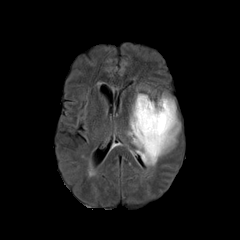
FLAIR MR image.
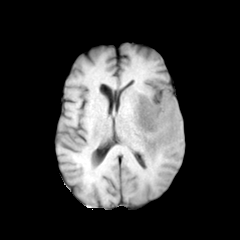
T1-weighted MR.
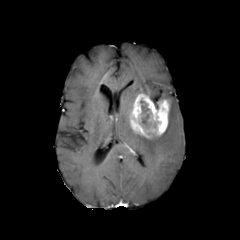
Post-contrast T1-weighted MR image.
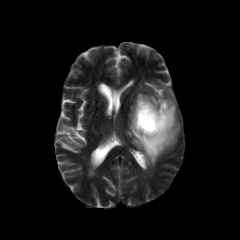
T2-weighted magnetic resonance.
Head; Image size 240x240
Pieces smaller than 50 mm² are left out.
<segmentation>
  <necrotic_tumor_core>(x1=141, y1=114, x2=149, y2=126)</necrotic_tumor_core>
  <peritumoral_edema>(x1=127, y1=94, x2=180, y2=166)</peritumoral_edema>
  <enhancing_tumor>(x1=130, y1=93, x2=169, y2=138)</enhancing_tumor>
</segmentation>